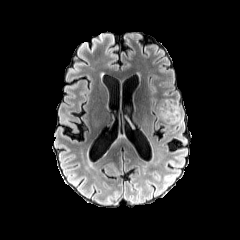
FLAIR MR.
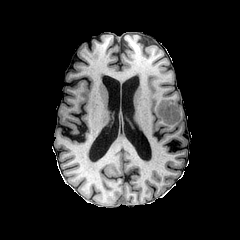
T1-weighted MRI.
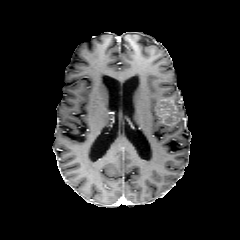
Post-contrast T1-weighted MR.
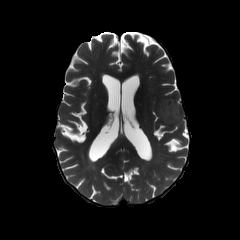
T2-weighted MRI.
Brain. 240x240 px.
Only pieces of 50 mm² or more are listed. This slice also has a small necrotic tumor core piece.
The enhancing tumor is bounded by rect(158, 98, 178, 124). The largest peritumoral edema region lies within rect(175, 101, 183, 124).